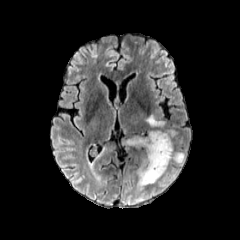
FLAIR MR.
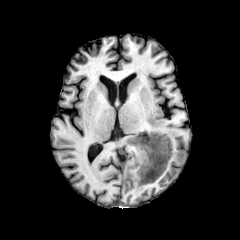
T1-weighted MR image.
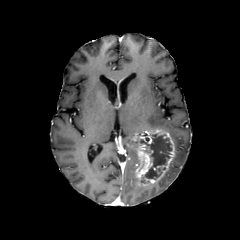
Post-contrast T1-weighted magnetic resonance.
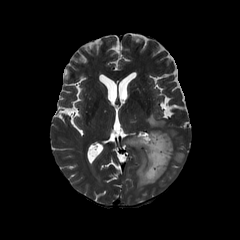
Same slice, T2-weighted MR.
Head
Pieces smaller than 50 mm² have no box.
peritumoral edema: bounding box 125:136:135:145, 173:151:185:164, 146:115:165:128
enhancing tumor: bounding box 132:128:175:186
necrotic tumor core: bounding box 140:134:171:179